Slice index 59; Brain
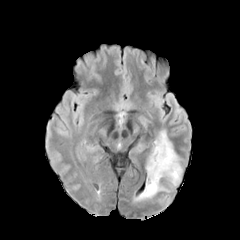
FLAIR MR image.
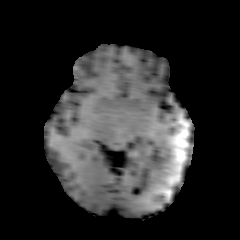
T1-weighted MR image.
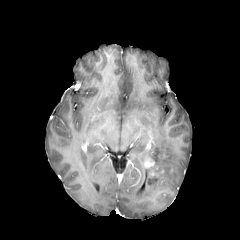
Post-contrast T1-weighted magnetic resonance.
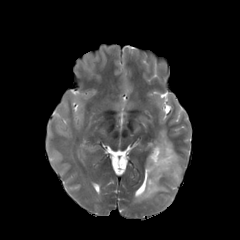
T2-weighted MR.
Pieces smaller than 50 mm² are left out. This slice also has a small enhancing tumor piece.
The peritumoral edema appears at 137,130,182,200.